Brain. Slice index 99.
FLAIR MR.
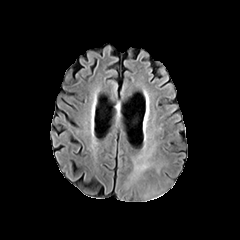
T1-weighted magnetic resonance.
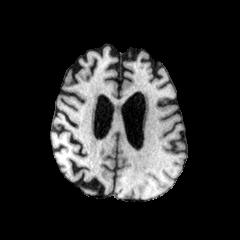
Post-contrast T1-weighted magnetic resonance.
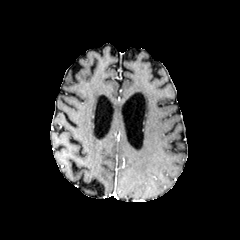
T2-weighted MR.
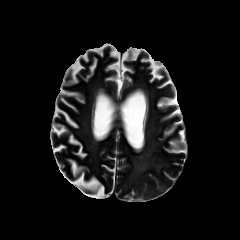
The peritumoral edema is located at [134,160,152,169].